240x240, Head
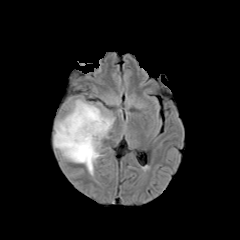
FLAIR magnetic resonance.
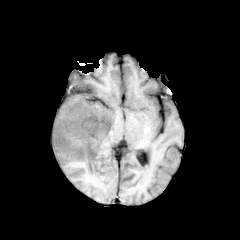
T1-weighted MRI.
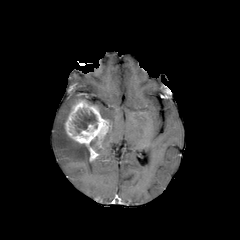
Post-contrast T1-weighted MR image.
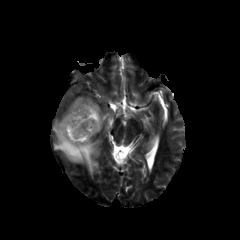
T2-weighted MRI of the same slice.
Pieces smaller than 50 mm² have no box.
enhancing_tumor:
  - (left=64, top=99, right=111, bottom=161)
peritumoral_edema:
  - (left=53, top=97, right=100, bottom=175)
  - (left=88, top=102, right=115, bottom=131)
necrotic_tumor_core:
  - (left=73, top=110, right=96, bottom=133)